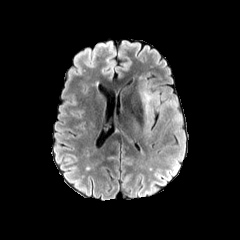
FLAIR MR.
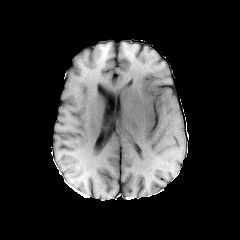
T1-weighted MR image.
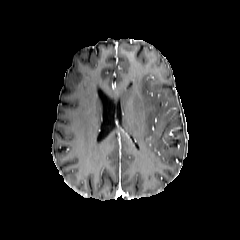
Post-contrast T1-weighted MR.
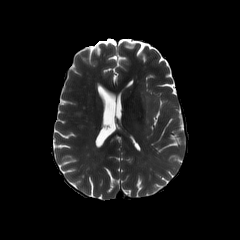
T2-weighted magnetic resonance.
Brain | Image size 240x240
Findings:
- peritumoral edema: {"x1": 140, "y1": 78, "x2": 159, "y2": 134}